Axial slice
FLAIR MR.
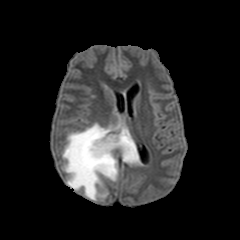
T1-weighted magnetic resonance.
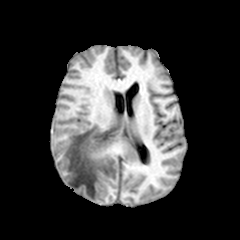
Post-contrast T1-weighted magnetic resonance.
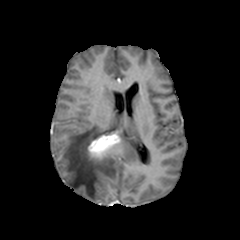
T2-weighted magnetic resonance.
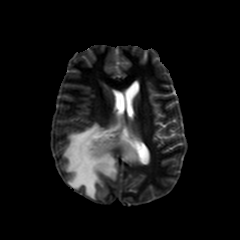
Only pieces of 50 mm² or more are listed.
enhancing tumor at bbox(88, 132, 120, 156)
peritumoral edema at bbox(62, 123, 141, 200)